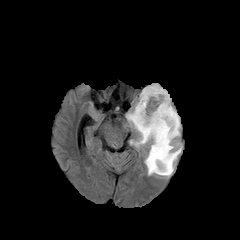
FLAIR MR.
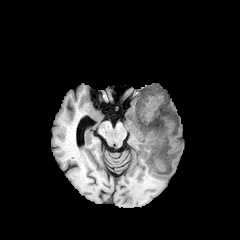
T1-weighted MRI.
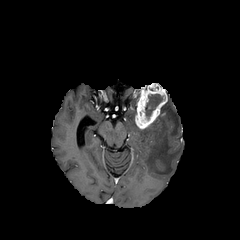
Post-contrast T1-weighted MR image.
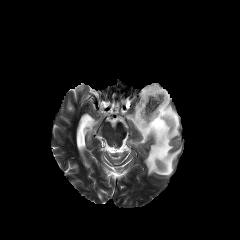
Same slice, T2-weighted magnetic resonance.
Head
{
  "peritumoral_edema": [
    "bbox=[126, 95, 181, 176]"
  ],
  "necrotic_tumor_core": [
    "bbox=[145, 94, 162, 116]"
  ],
  "enhancing_tumor": [
    "bbox=[135, 83, 167, 129]"
  ]
}